240x240. Slice index 97. Image width 240 mm. Head. Axial slice.
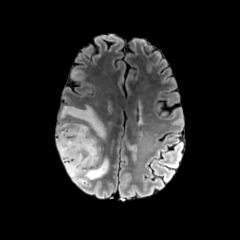
FLAIR MR image.
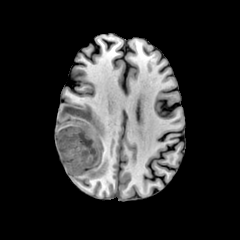
Same slice, T1-weighted magnetic resonance.
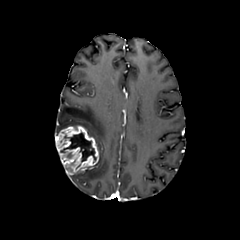
Post-contrast T1-weighted MR image.
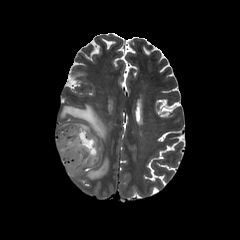
Same slice, T2-weighted MRI.
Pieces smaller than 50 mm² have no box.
{"enhancing_tumor": ["bbox=[55, 125, 98, 175]"], "peritumoral_edema": ["bbox=[56, 104, 108, 182]"], "necrotic_tumor_core": ["bbox=[60, 132, 96, 161]"]}